Axial view, Slice 127/155
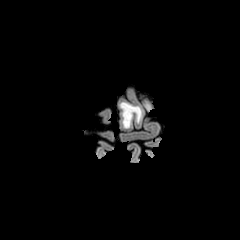
FLAIR MR image.
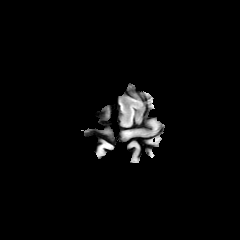
T1-weighted MRI of the same slice.
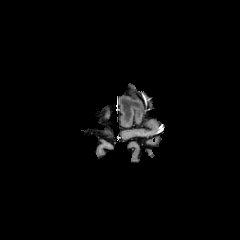
Post-contrast T1-weighted MRI.
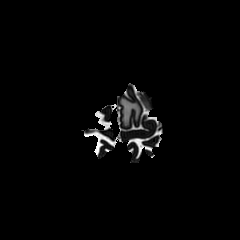
T2-weighted magnetic resonance.
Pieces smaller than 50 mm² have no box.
<segmentation>
  <peritumoral_edema>l=120, t=100, r=142, b=127</peritumoral_edema>
</segmentation>